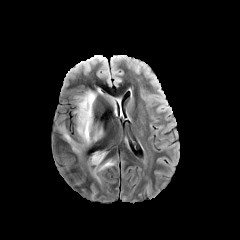
FLAIR MR image.
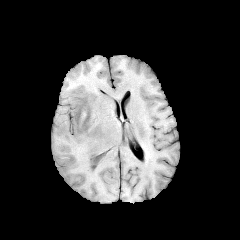
T1-weighted MR image.
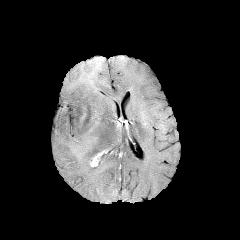
Same slice, post-contrast T1-weighted magnetic resonance.
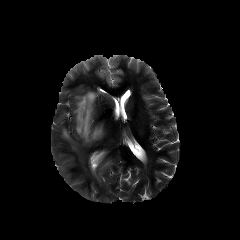
T2-weighted MRI.
Axial plane; 240x240 px
peritumoral edema: 74,90,103,146; 59,125,79,152; 89,151,114,180